Image width 240 mm, 1.00 mm slice spacing, Axial view, Head
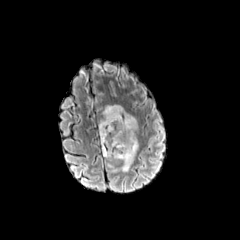
FLAIR MR.
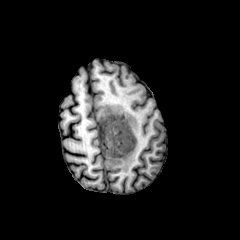
T1-weighted magnetic resonance of the same slice.
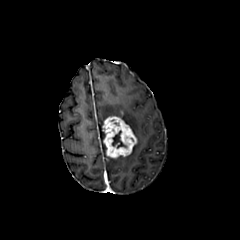
Post-contrast T1-weighted MRI.
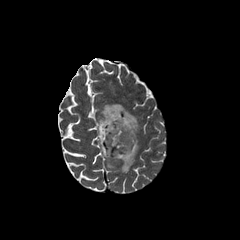
T2-weighted MR image.
enhancing tumor: {"x1": 102, "y1": 115, "x2": 137, "y2": 158} | necrotic tumor core: {"x1": 112, "y1": 131, "x2": 126, "y2": 148} | peritumoral edema: {"x1": 99, "y1": 104, "x2": 138, "y2": 171}